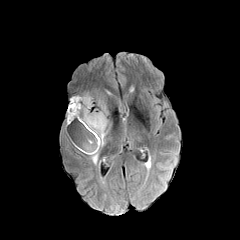
FLAIR MRI.
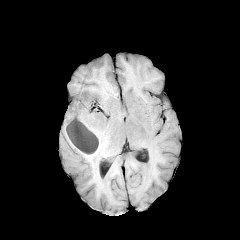
T1-weighted MR.
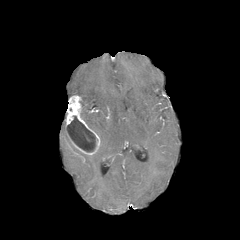
Post-contrast T1-weighted MRI.
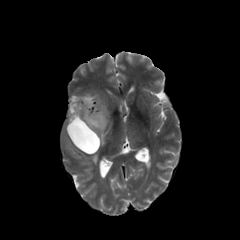
T2-weighted magnetic resonance.
240x240 px, Axial plane
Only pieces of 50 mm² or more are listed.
The enhancing tumor is at box(65, 95, 100, 154). The peritumoral edema is at box(81, 93, 111, 163). The largest necrotic tumor core region is located at box(67, 116, 95, 152).